FLAIR MRI.
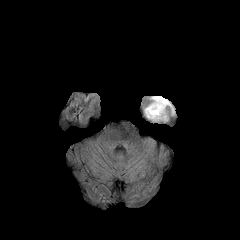
T1-weighted MR image.
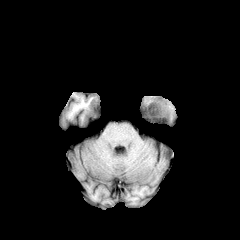
Post-contrast T1-weighted MR.
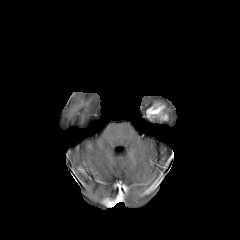
T2-weighted MR.
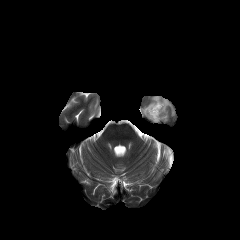
Head
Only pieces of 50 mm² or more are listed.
The enhancing tumor lies within left=146, top=101, right=168, bottom=121. The largest peritumoral edema region is at left=144, top=96, right=175, bottom=115.